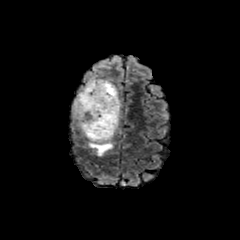
FLAIR MR image.
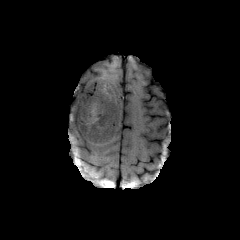
T1-weighted MR.
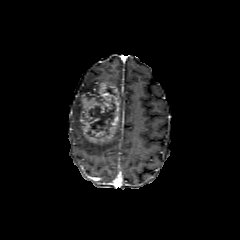
Same slice, post-contrast T1-weighted MR.
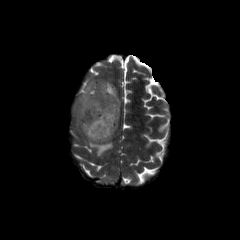
Same slice, T2-weighted MR.
Axial plane.
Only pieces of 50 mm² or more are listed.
<segmentation>
  <peritumoral_edema>(88, 139, 113, 156), (72, 78, 108, 129)</peritumoral_edema>
  <necrotic_tumor_core>(86, 92, 102, 102), (89, 102, 115, 134)</necrotic_tumor_core>
  <enhancing_tumor>(79, 82, 120, 142)</enhancing_tumor>
</segmentation>